FLAIR MR.
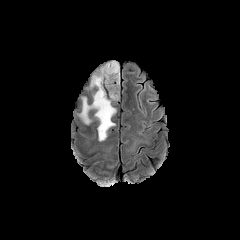
T1-weighted MRI.
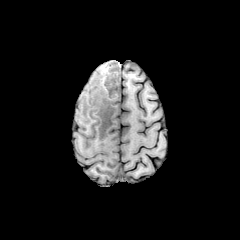
Post-contrast T1-weighted MRI.
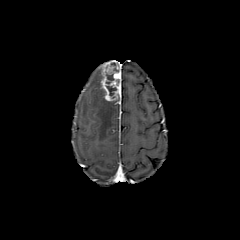
T2-weighted MR image.
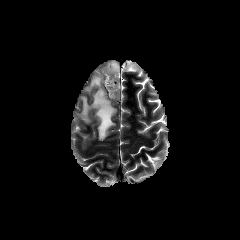
Axial plane.
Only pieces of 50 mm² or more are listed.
enhancing tumor = <bbox>101, 60, 120, 101</bbox>
peritumoral edema = <bbox>79, 69, 116, 141</bbox>
necrotic tumor core = <bbox>106, 86, 116, 95</bbox>